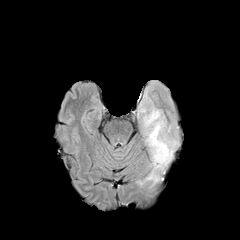
FLAIR MR image.
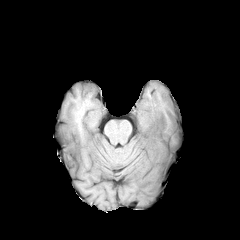
T1-weighted MRI.
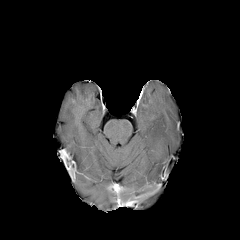
Same slice, post-contrast T1-weighted MR.
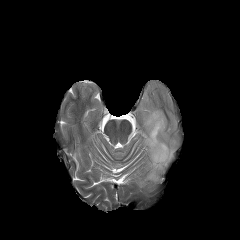
Same slice, T2-weighted MR image.
Axial slice; Head
The peritumoral edema is at 139,107,177,184.